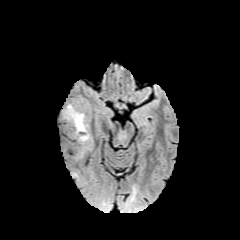
FLAIR magnetic resonance.
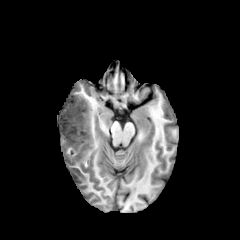
T1-weighted MR image.
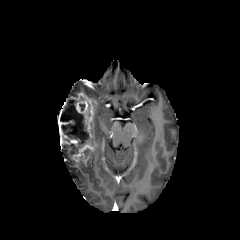
Post-contrast T1-weighted MR image of the same slice.
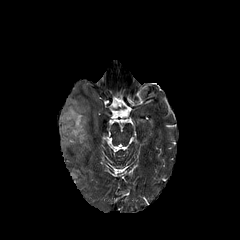
T2-weighted MR.
Brain. 240x240 px. Axial plane.
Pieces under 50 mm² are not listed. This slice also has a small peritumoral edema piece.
enhancing_tumor:
  - <box>58,93,93,163</box>
necrotic_tumor_core:
  - <box>62,144,78,153</box>
  - <box>60,99,89,146</box>